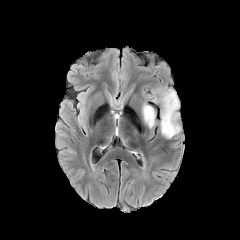
FLAIR magnetic resonance.
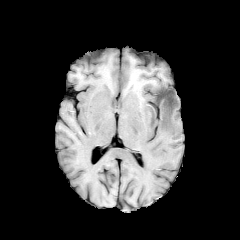
T1-weighted MRI of the same slice.
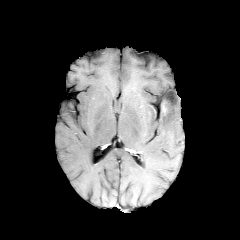
Post-contrast T1-weighted MR.
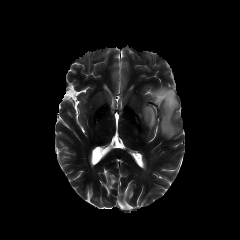
T2-weighted MR.
Image size 240x240. Axial plane. Head.
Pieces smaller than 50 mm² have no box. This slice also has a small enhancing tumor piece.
necrotic tumor core: bbox(157, 91, 175, 109) | peritumoral edema: bbox(150, 87, 180, 138); bbox(142, 104, 155, 128)